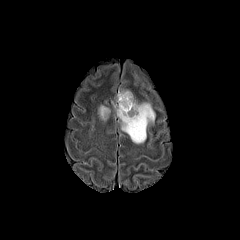
FLAIR MR image.
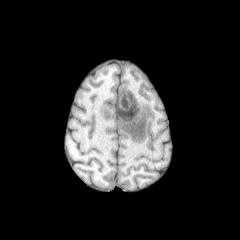
T1-weighted MR.
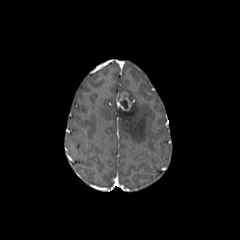
Post-contrast T1-weighted MRI of the same slice.
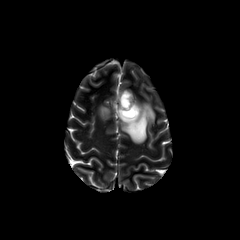
Same slice, T2-weighted MR image.
Axial plane
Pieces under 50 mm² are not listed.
<segmentation>
  <enhancing_tumor>bbox=[116, 92, 133, 110]</enhancing_tumor>
  <peritumoral_edema>bbox=[117, 103, 155, 143]; bbox=[99, 106, 109, 120]</peritumoral_edema>
  <necrotic_tumor_core>bbox=[120, 96, 128, 108]</necrotic_tumor_core>
</segmentation>